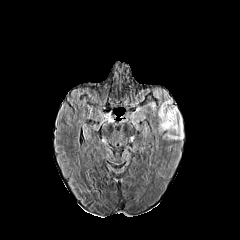
FLAIR MR.
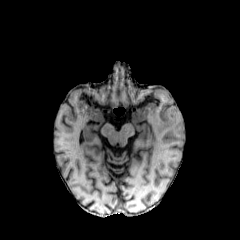
T1-weighted MR image.
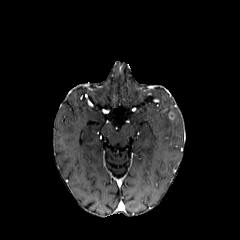
Same slice, post-contrast T1-weighted magnetic resonance.
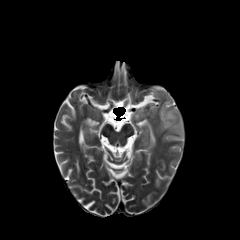
Same slice, T2-weighted MRI.
Head
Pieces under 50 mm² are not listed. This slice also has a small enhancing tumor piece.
The largest peritumoral edema region is at x1=158 y1=98 x2=183 y2=140.